Brain; Axial plane; Image width 240 mm
FLAIR MRI.
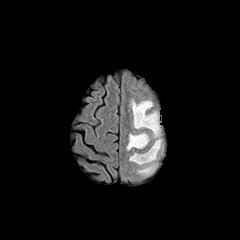
T1-weighted MRI.
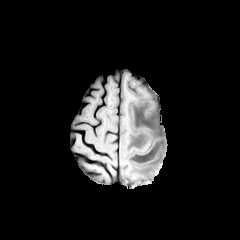
Post-contrast T1-weighted MRI.
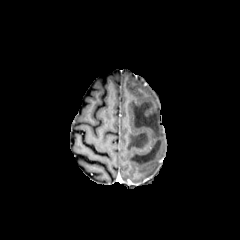
T2-weighted MRI.
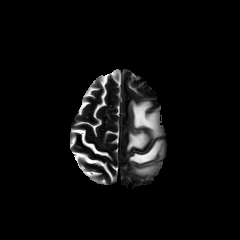
Annotated regions:
• peritumoral edema: 126:132:150:150, 129:100:163:175